240x240 | Brain
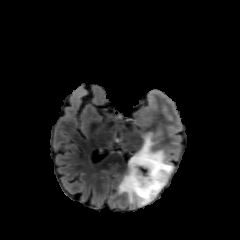
FLAIR MR.
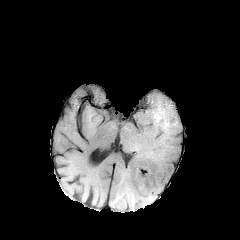
T1-weighted magnetic resonance.
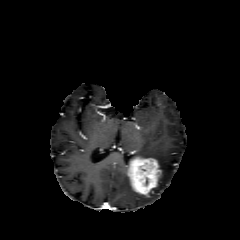
Same slice, post-contrast T1-weighted magnetic resonance.
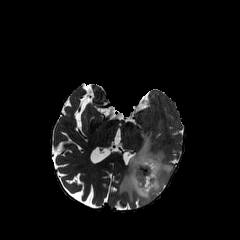
T2-weighted magnetic resonance.
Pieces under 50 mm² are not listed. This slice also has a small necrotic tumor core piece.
<segmentation>
  <enhancing_tumor>rect(127, 157, 162, 196)</enhancing_tumor>
  <peritumoral_edema>rect(118, 134, 173, 205)</peritumoral_edema>
</segmentation>